FLAIR MR image.
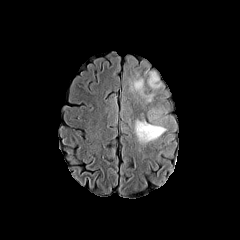
T1-weighted MR image.
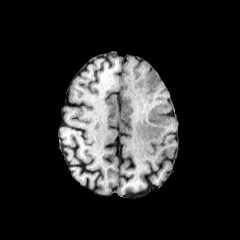
Post-contrast T1-weighted MRI.
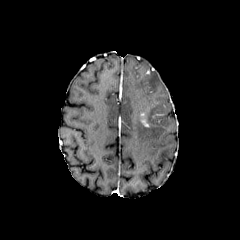
T2-weighted MR.
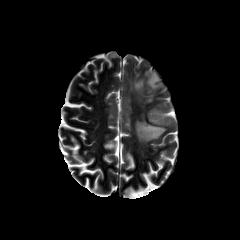
Head
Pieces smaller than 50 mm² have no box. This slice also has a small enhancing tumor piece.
peritumoral edema — 131 78 152 101, 148 72 161 88, 135 120 166 142